FLAIR magnetic resonance.
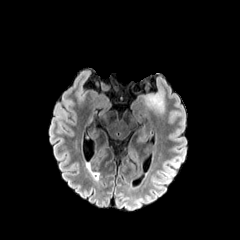
T1-weighted MR image.
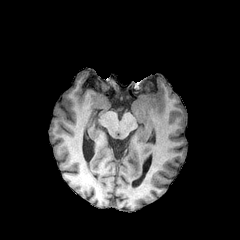
Post-contrast T1-weighted magnetic resonance.
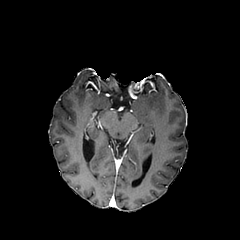
T2-weighted MR image.
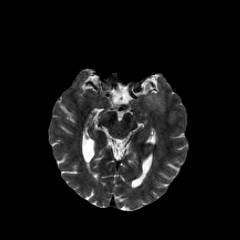
Brain, 240x240
The peritumoral edema is bounded by l=144, t=93, r=164, b=113.